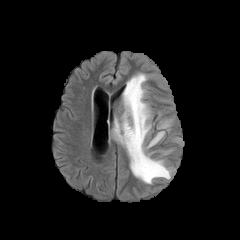
FLAIR MR.
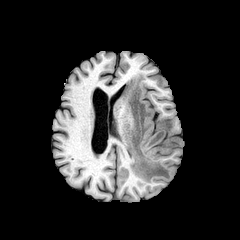
T1-weighted MRI of the same slice.
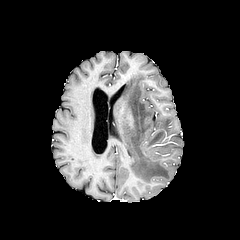
Post-contrast T1-weighted magnetic resonance.
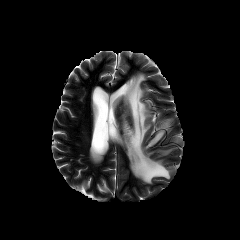
T2-weighted MRI.
Axial slice
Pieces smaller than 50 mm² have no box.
The 2 largest peritumoral edema regions are bounded by <box>114,73,172,183</box>, <box>159,120,171,128</box>.